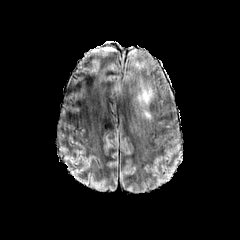
FLAIR MRI.
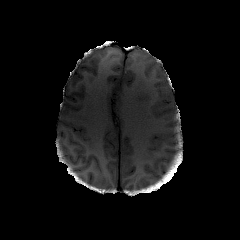
Same slice, T1-weighted MRI.
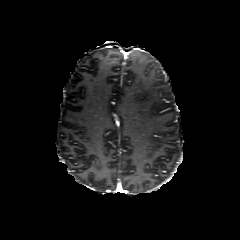
Post-contrast T1-weighted MR.
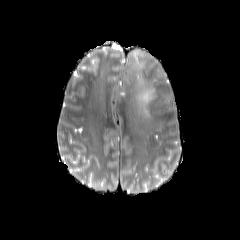
T2-weighted MR image.
240x240 px
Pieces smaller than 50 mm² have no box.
<segmentation>
  <peritumoral_edema>(134,76,155,119)</peritumoral_edema>
</segmentation>